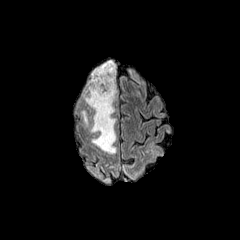
FLAIR MR.
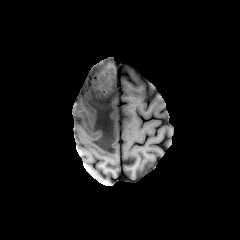
T1-weighted MRI of the same slice.
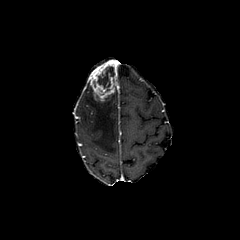
Post-contrast T1-weighted MRI.
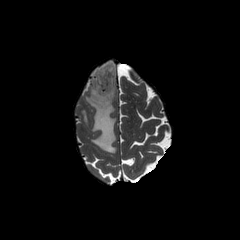
T2-weighted MR image of the same slice.
Axial view
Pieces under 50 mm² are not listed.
* peritumoral edema: <bbox>84, 83, 117, 153</bbox>, <bbox>91, 63, 105, 77</bbox>, <bbox>82, 110, 88, 125</bbox>
* necrotic tumor core: <bbox>98, 66, 114, 90</bbox>
* enhancing tumor: <bbox>89, 59, 117, 102</bbox>